Slice index 86; 240x240
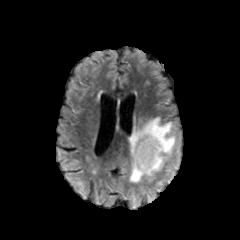
FLAIR MRI.
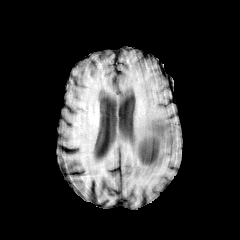
T1-weighted MRI of the same slice.
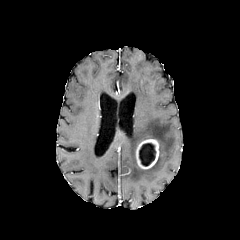
Post-contrast T1-weighted magnetic resonance of the same slice.
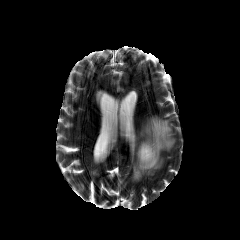
Same slice, T2-weighted MR.
- peritumoral edema: [129,117,175,182]
- enhancing tumor: [135,138,159,169]
- necrotic tumor core: [139,143,155,166]